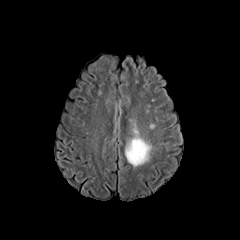
FLAIR MRI.
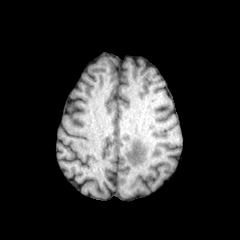
T1-weighted MRI.
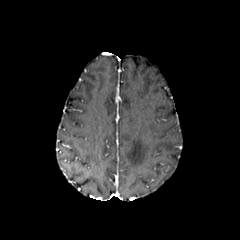
Post-contrast T1-weighted MR image.
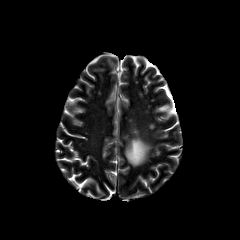
Same slice, T2-weighted MR image.
Axial view. Head.
The peritumoral edema appears at bbox(125, 120, 152, 166).